Image covers 240 mm x 240 mm, Slice 85/155
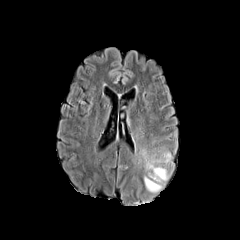
FLAIR magnetic resonance.
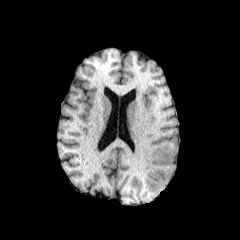
Same slice, T1-weighted MRI.
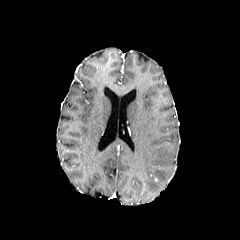
Post-contrast T1-weighted magnetic resonance.
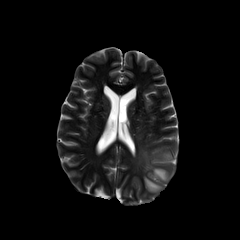
Same slice, T2-weighted MR image.
peritumoral_edema:
  - <box>139,149,172,192</box>